FLAIR MR image.
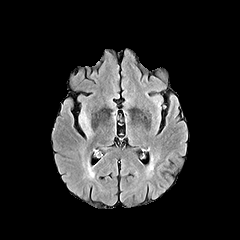
T1-weighted MR.
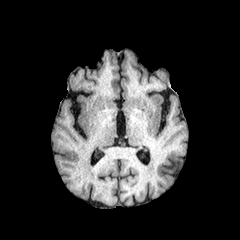
Post-contrast T1-weighted MR.
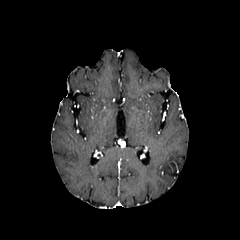
T2-weighted MR image.
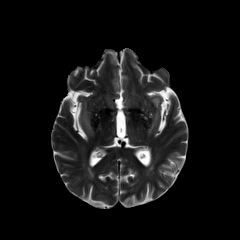
Brain
peritumoral edema — [80, 114, 89, 133]